FLAIR magnetic resonance.
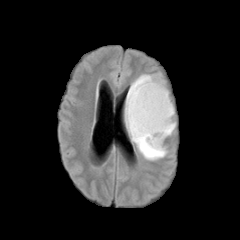
T1-weighted MR.
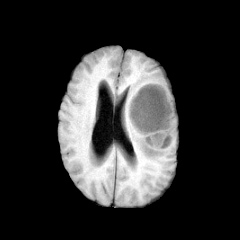
Post-contrast T1-weighted MR image.
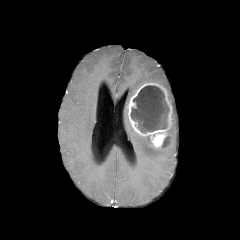
T2-weighted MRI.
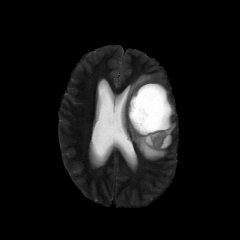
240x240 px; Axial slice
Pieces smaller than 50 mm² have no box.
Annotated regions:
* enhancing tumor: box(128, 83, 172, 148)
* peritumoral edema: box(125, 74, 167, 160); box(168, 120, 175, 135)
* necrotic tumor core: box(131, 85, 169, 132); box(161, 137, 169, 147)